Slice 127 of 155. Axial slice. Brain.
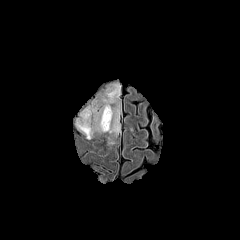
FLAIR MR.
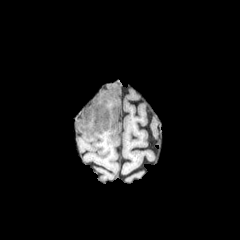
T1-weighted MR image of the same slice.
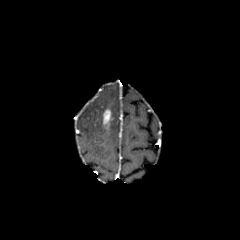
Post-contrast T1-weighted MR image.
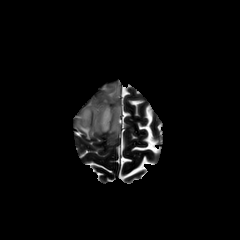
T2-weighted MR.
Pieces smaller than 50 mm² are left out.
peritumoral edema: bounding box box(74, 84, 120, 139)
enhancing tumor: bounding box box(103, 109, 111, 129)